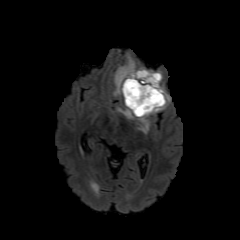
FLAIR MR image.
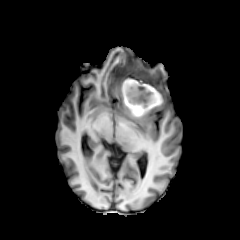
T1-weighted MRI.
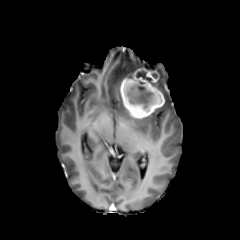
Post-contrast T1-weighted MRI of the same slice.
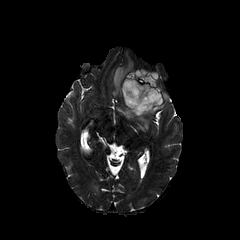
T2-weighted MR of the same slice.
Image size 240x240, Axial view
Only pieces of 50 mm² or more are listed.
Segmented structures:
* necrotic tumor core: 124,74,162,114; 136,70,155,86
* peritumoral edema: 117,107,149,133; 152,71,170,113; 113,54,135,95
* enhancing tumor: 120,67,164,118